Image size 240x240 | Slice 43 of 155
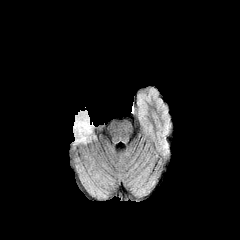
FLAIR MR image.
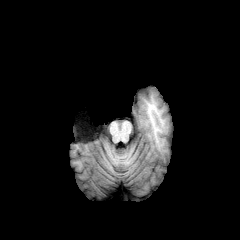
T1-weighted MR image.
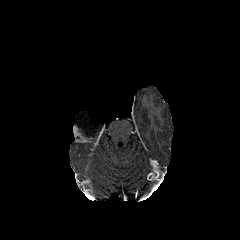
Post-contrast T1-weighted MR image of the same slice.
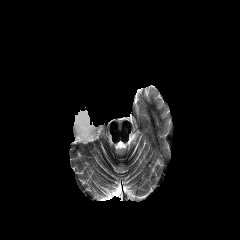
Same slice, T2-weighted MRI.
peritumoral edema — 74:110:95:139
enhancing tumor — 73:125:92:142